Head, Slice 44/155
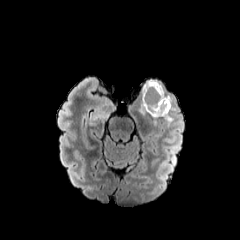
FLAIR MR.
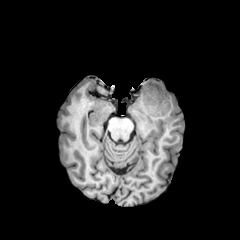
T1-weighted MR.
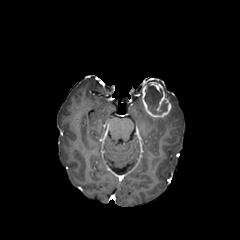
Same slice, post-contrast T1-weighted MR image.
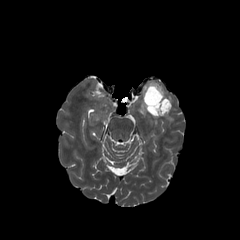
T2-weighted MR of the same slice.
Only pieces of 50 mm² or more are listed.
• enhancing tumor: 142 79 171 117
• necrotic tumor core: 144 86 167 114
• peritumoral edema: 164 114 173 123